240x240 px; Brain; Image width 240 mm
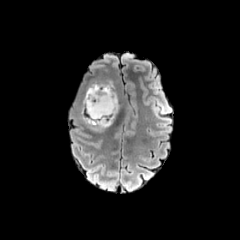
FLAIR MRI.
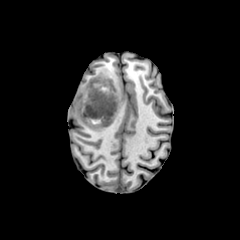
Same slice, T1-weighted magnetic resonance.
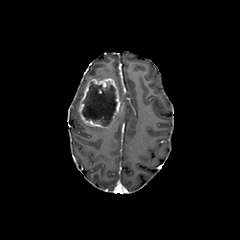
Post-contrast T1-weighted magnetic resonance of the same slice.
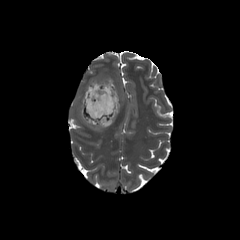
T2-weighted MRI.
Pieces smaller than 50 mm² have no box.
enhancing tumor: bounding box 78 78 121 127
peritumoral edema: bounding box 90 126 106 132
necrotic tumor core: bounding box 82 82 116 126